FLAIR MR image.
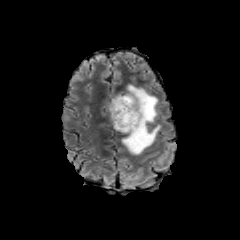
T1-weighted MR image.
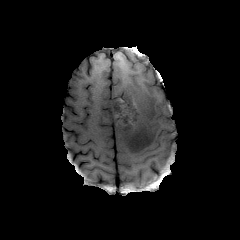
Post-contrast T1-weighted MR.
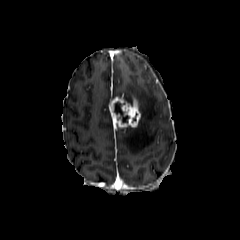
T2-weighted magnetic resonance.
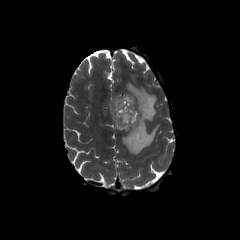
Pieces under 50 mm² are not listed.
peritumoral edema at region(116, 84, 160, 154)
necrotic tumor core at region(114, 102, 128, 122)
enhancing tumor at region(109, 96, 140, 129)